FLAIR MR image.
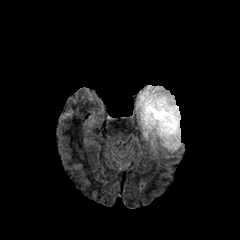
T1-weighted MRI.
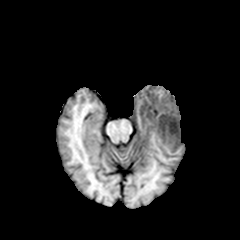
Post-contrast T1-weighted magnetic resonance.
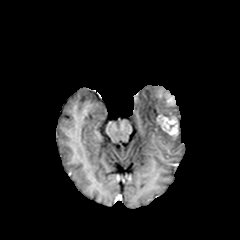
T2-weighted magnetic resonance.
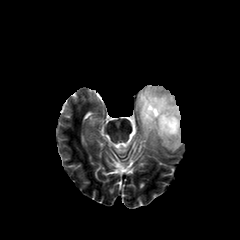
Axial slice.
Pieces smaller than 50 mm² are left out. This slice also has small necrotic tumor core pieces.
enhancing tumor — x1=156, y1=114, x2=178, y2=136; x1=166, y1=94, x2=175, y2=105
peritumoral edema — x1=135, y1=85, x2=181, y2=151